Axial plane
FLAIR magnetic resonance.
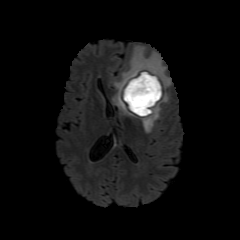
T1-weighted magnetic resonance.
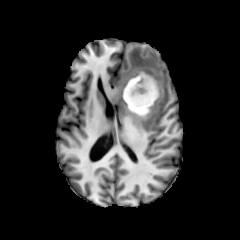
Post-contrast T1-weighted MR image.
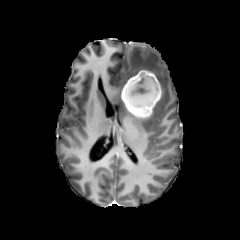
T2-weighted magnetic resonance.
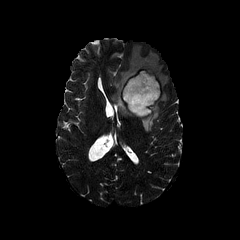
necrotic tumor core = left=124, top=76, right=157, bottom=114
enhancing tumor = left=121, top=70, right=161, bottom=117
peritumoral edema = left=112, top=46, right=170, bottom=116; left=137, top=93, right=168, bottom=132